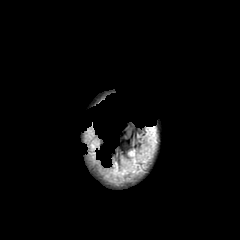
FLAIR magnetic resonance.
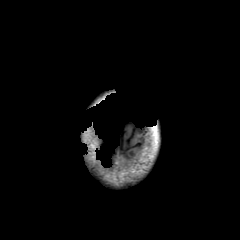
T1-weighted MR.
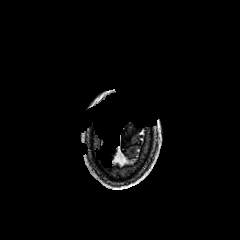
Post-contrast T1-weighted magnetic resonance.
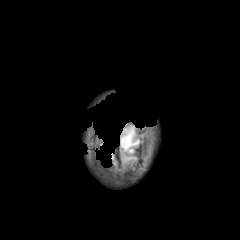
T2-weighted MRI.
Axial view | Head
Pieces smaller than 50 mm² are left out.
* peritumoral edema: (122,149,139,172)